240x240 px | Axial view
FLAIR MRI.
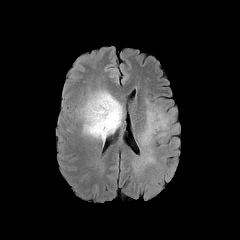
T1-weighted MR.
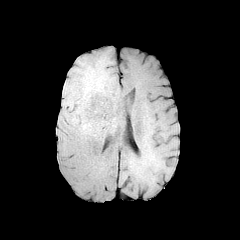
Post-contrast T1-weighted MR.
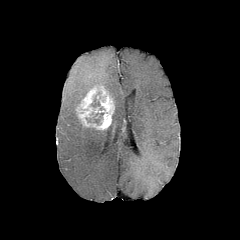
T2-weighted magnetic resonance.
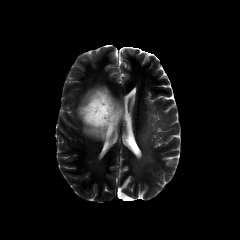
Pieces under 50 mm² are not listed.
necrotic tumor core: l=91, t=96, r=104, b=110; l=86, t=113, r=104, b=124 | enhancing tumor: l=77, t=88, r=114, b=129 | peritumoral edema: l=78, t=87, r=123, b=141; l=132, t=99, r=179, b=171; l=171, t=138, r=179, b=155